Head
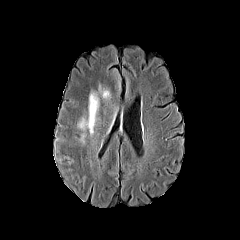
FLAIR MRI.
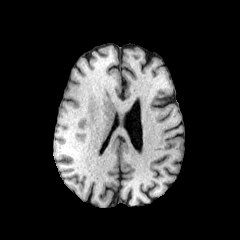
Same slice, T1-weighted magnetic resonance.
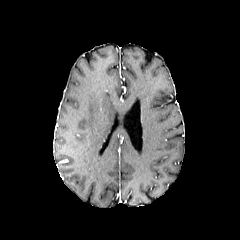
Post-contrast T1-weighted magnetic resonance.
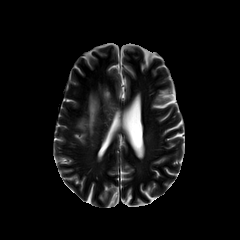
T2-weighted magnetic resonance.
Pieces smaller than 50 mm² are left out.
The largest peritumoral edema region is located at x1=79 y1=94 x2=98 y2=133.